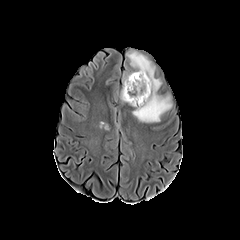
FLAIR MR image.
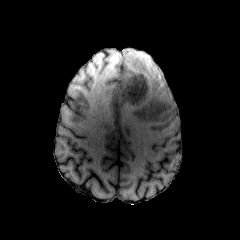
T1-weighted MR of the same slice.
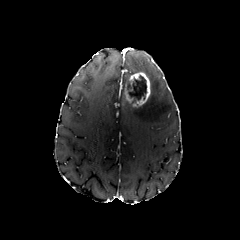
Post-contrast T1-weighted MR of the same slice.
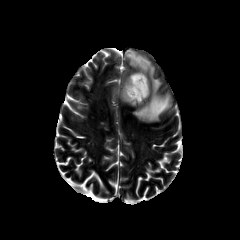
T2-weighted MRI.
Head
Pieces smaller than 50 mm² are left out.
The enhancing tumor is bounded by (left=123, top=72, right=150, bottom=107). The largest necrotic tumor core region is at (left=128, top=75, right=146, bottom=100). The 2 largest peritumoral edema regions are bounded by (left=132, top=79, right=171, bottom=122), (left=135, top=57, right=147, bottom=72).